FLAIR magnetic resonance.
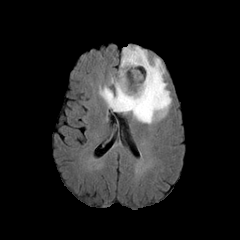
T1-weighted magnetic resonance.
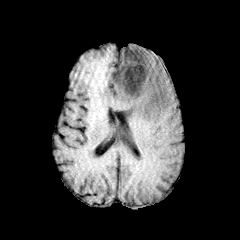
Post-contrast T1-weighted MR.
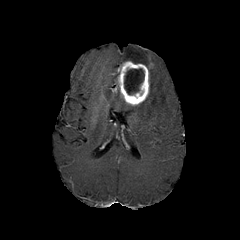
T2-weighted magnetic resonance.
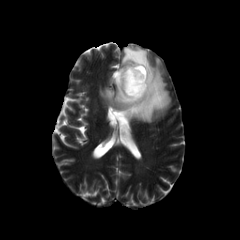
Axial slice, Brain
Findings:
* enhancing tumor: left=115, top=61, right=151, bottom=105
* necrotic tumor core: left=124, top=68, right=144, bottom=94
* peritumoral edema: left=99, top=45, right=171, bottom=123